Slice 91 of 155, Image size 240x240, Head
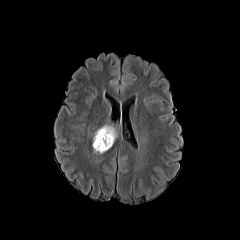
FLAIR MR.
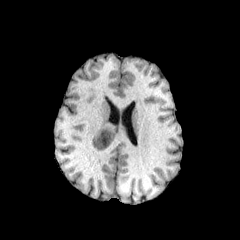
T1-weighted MR image.
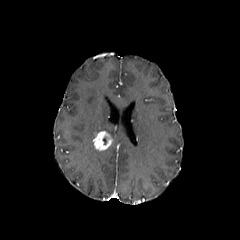
Same slice, post-contrast T1-weighted magnetic resonance.
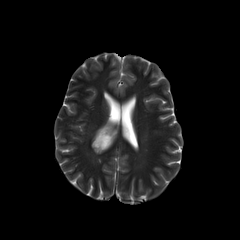
T2-weighted MRI.
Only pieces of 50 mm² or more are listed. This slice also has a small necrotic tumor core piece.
<segmentation>
  <peritumoral_edema>(left=95, top=125, right=116, bottom=149)</peritumoral_edema>
  <enhancing_tumor>(left=93, top=130, right=113, bottom=150)</enhancing_tumor>
</segmentation>